Brain; Slice index 61
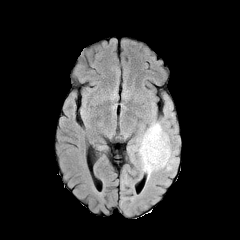
FLAIR MR.
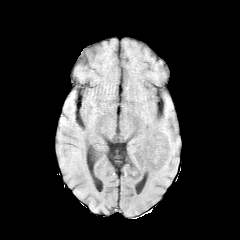
T1-weighted MR image.
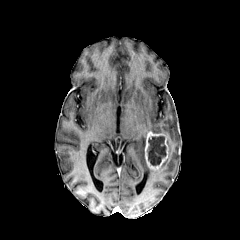
Post-contrast T1-weighted MR image.
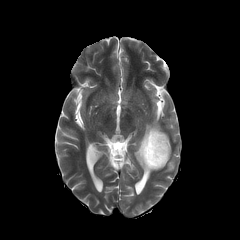
T2-weighted magnetic resonance of the same slice.
{"necrotic_tumor_core": ["[147, 136, 166, 165]"], "enhancing_tumor": ["[144, 131, 169, 170]"], "peritumoral_edema": ["[136, 121, 176, 174]"]}